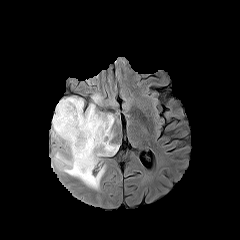
FLAIR MR.
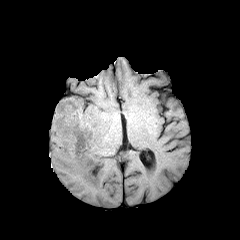
T1-weighted magnetic resonance.
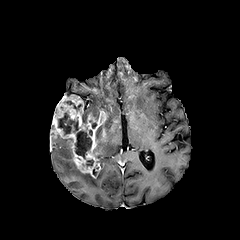
Post-contrast T1-weighted MR image.
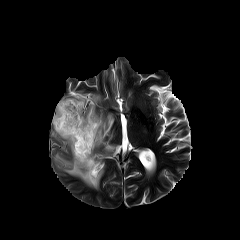
T2-weighted magnetic resonance.
240x240
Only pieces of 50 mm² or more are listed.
peritumoral edema: bounding box l=54, t=135, r=104, b=189; l=82, t=94, r=101, b=120; l=95, t=114, r=118, b=159
enhancing tumor: bounding box l=51, t=96, r=106, b=177
necrotic tumor core: bounding box l=58, t=112, r=78, b=135; l=75, t=131, r=91, b=158; l=64, t=101, r=81, b=110